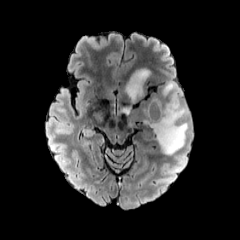
FLAIR MR.
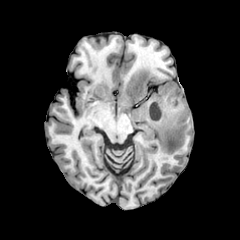
Same slice, T1-weighted MRI.
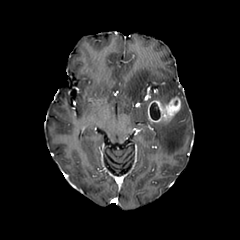
Post-contrast T1-weighted MR image of the same slice.
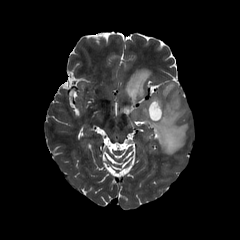
T2-weighted magnetic resonance of the same slice.
Brain.
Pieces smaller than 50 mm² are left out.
peritumoral edema: region(144, 102, 188, 155); region(125, 69, 150, 102); region(122, 107, 130, 114); region(163, 82, 182, 99) | necrotic tumor core: region(150, 102, 160, 120) | enhancing tumor: region(147, 96, 180, 122)